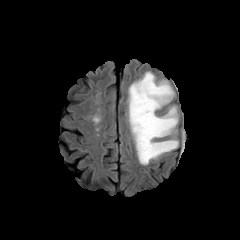
FLAIR MRI.
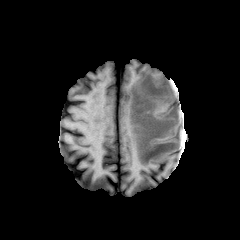
Same slice, T1-weighted magnetic resonance.
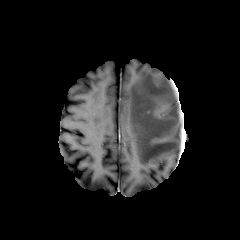
Same slice, post-contrast T1-weighted magnetic resonance.
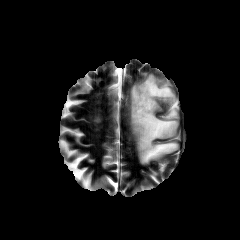
T2-weighted magnetic resonance.
Head
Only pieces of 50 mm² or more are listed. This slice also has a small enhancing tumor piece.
The peritumoral edema is bounded by box(128, 72, 178, 165).